FLAIR MR.
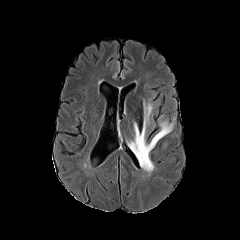
T1-weighted MR image.
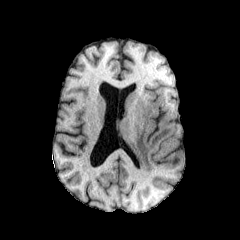
Post-contrast T1-weighted MR.
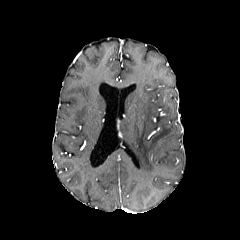
T2-weighted magnetic resonance.
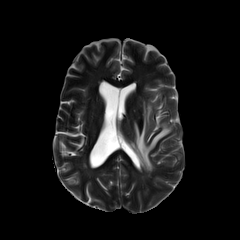
Brain, Axial slice
peritumoral edema: region(129, 101, 173, 172)